Head; Slice index 102
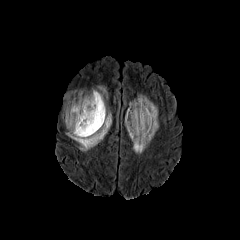
FLAIR magnetic resonance.
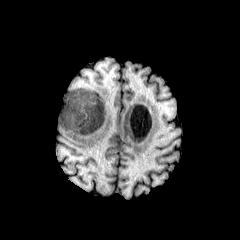
T1-weighted MR image.
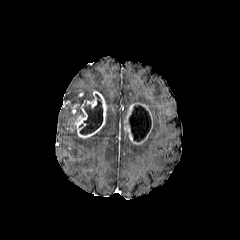
Post-contrast T1-weighted MR image of the same slice.
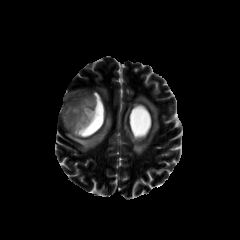
T2-weighted magnetic resonance.
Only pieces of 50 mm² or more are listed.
peritumoral edema — 129, 94, 158, 154; 65, 105, 73, 122; 66, 112, 111, 151; 98, 86, 107, 98
enhancing tumor — 66, 90, 106, 138; 124, 102, 153, 144
necrotic tumor core — 71, 100, 83, 114; 80, 94, 102, 134; 129, 105, 151, 141